FLAIR MR image.
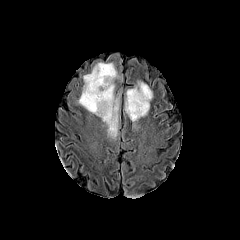
T1-weighted MR.
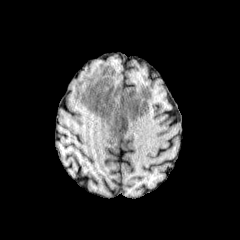
Post-contrast T1-weighted MRI.
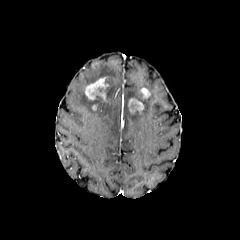
T2-weighted MRI.
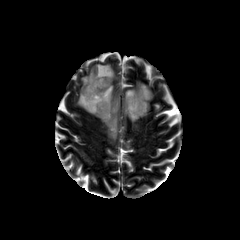
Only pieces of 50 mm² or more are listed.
Findings:
- enhancing tumor: [139,87,150,98], [85,77,108,100], [128,98,143,113]
- peritumoral edema: [78,63,119,136], [124,81,153,122]
- necrotic tumor core: [133,91,144,109]